FLAIR magnetic resonance.
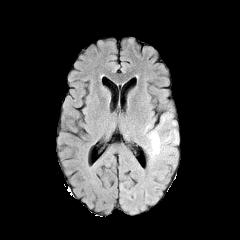
T1-weighted MR.
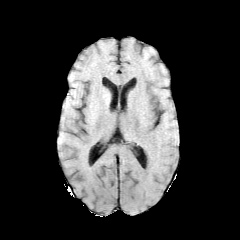
Post-contrast T1-weighted MRI.
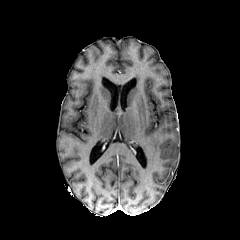
T2-weighted MR image.
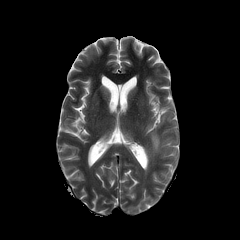
Axial view, Head, Image size 240x240
Segmented structures:
• peritumoral edema: <box>148,131,164,159</box>